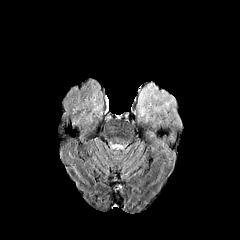
FLAIR magnetic resonance.
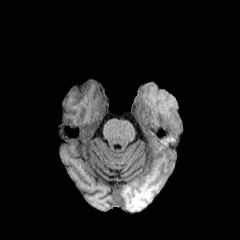
Same slice, T1-weighted MR image.
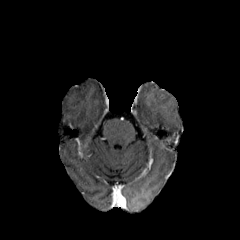
Post-contrast T1-weighted MR of the same slice.
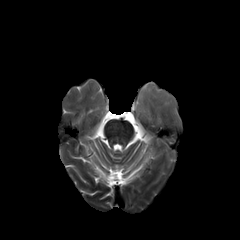
Same slice, T2-weighted MR.
Brain
peritumoral edema = bbox(138, 85, 179, 121)